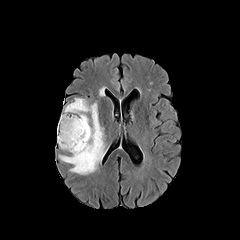
FLAIR MR image.
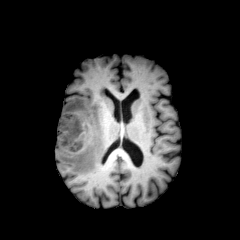
T1-weighted MRI of the same slice.
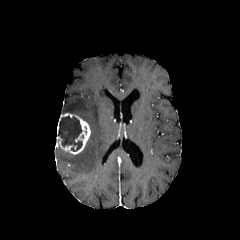
Post-contrast T1-weighted MRI of the same slice.
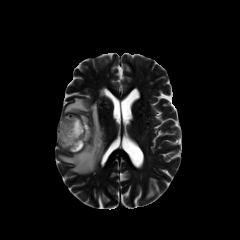
T2-weighted MR of the same slice.
Axial view, 240x240, Head
enhancing tumor: (x1=56, y1=113, x2=90, y2=154)
peritumoral edema: (x1=59, y1=98, x2=105, y2=174)
necrotic tumor core: (x1=58, y1=116, x2=82, y2=151)